FLAIR magnetic resonance.
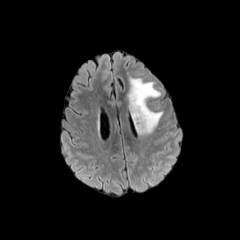
T1-weighted magnetic resonance.
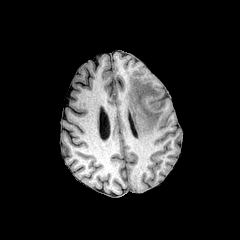
Post-contrast T1-weighted MRI.
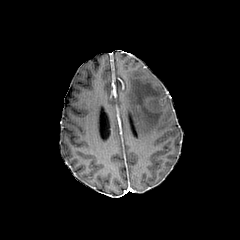
T2-weighted MR image.
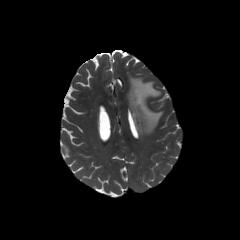
240x240 px. Brain. Axial slice.
{"peritumoral_edema": ["[128, 77, 163, 134]"]}